Axial view, 240x240, Brain
FLAIR magnetic resonance.
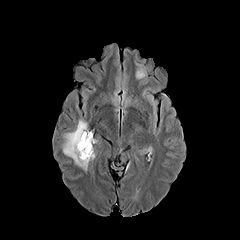
T1-weighted MRI.
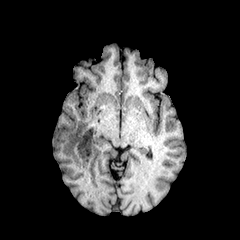
Post-contrast T1-weighted magnetic resonance.
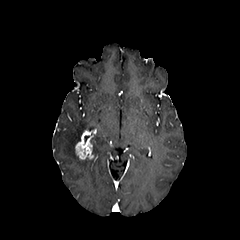
T2-weighted MR image.
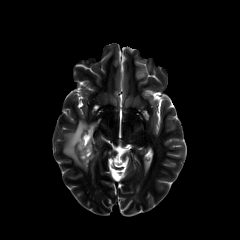
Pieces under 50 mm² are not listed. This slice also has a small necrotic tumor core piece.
The enhancing tumor is at 75:130:93:159. The 2 largest peritumoral edema regions appear at 63:119:90:170, 136:67:146:78.